240x240 px. Head. Axial plane.
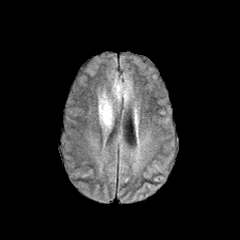
FLAIR MR image.
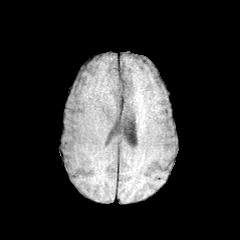
T1-weighted MR image of the same slice.
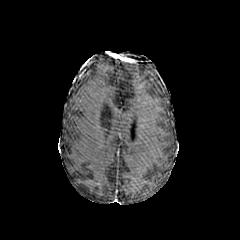
Post-contrast T1-weighted magnetic resonance.
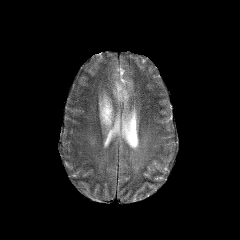
T2-weighted MRI.
2 peritumoral edema regions are located at bbox=[98, 91, 113, 129]; bbox=[112, 78, 130, 101].